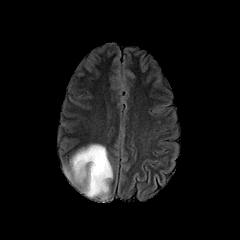
FLAIR magnetic resonance.
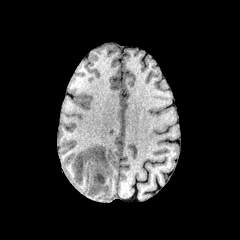
T1-weighted MRI of the same slice.
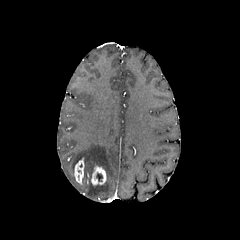
Post-contrast T1-weighted magnetic resonance of the same slice.
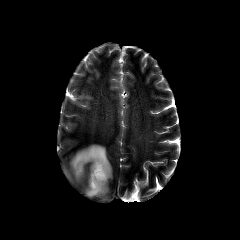
T2-weighted magnetic resonance.
Image size 240x240
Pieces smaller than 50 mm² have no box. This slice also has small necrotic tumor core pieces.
2 enhancing tumor regions appear at (left=74, top=158, right=84, bottom=183), (left=90, top=165, right=106, bottom=186). The peritumoral edema appears at (left=64, top=144, right=112, bottom=199).